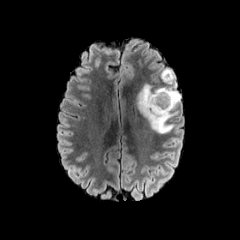
FLAIR magnetic resonance.
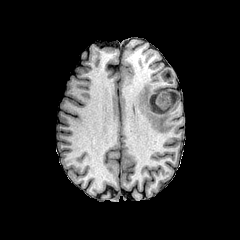
Same slice, T1-weighted MRI.
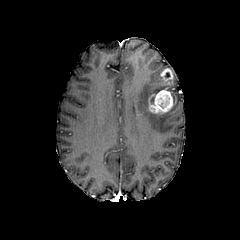
Post-contrast T1-weighted MR image.
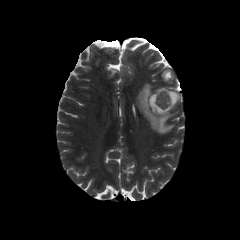
Same slice, T2-weighted MR.
Axial slice
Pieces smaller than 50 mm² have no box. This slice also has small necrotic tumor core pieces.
peritumoral edema = box(135, 70, 180, 133)
enhancing tumor = box(145, 89, 177, 115); box(161, 68, 172, 81)